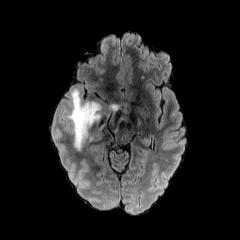
FLAIR MR.
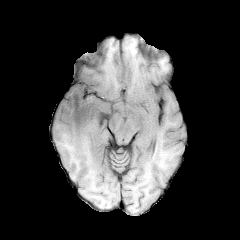
T1-weighted MR.
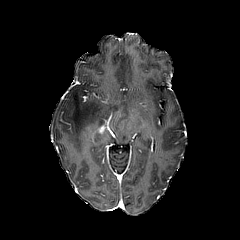
Post-contrast T1-weighted MR image.
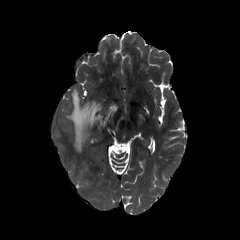
Same slice, T2-weighted magnetic resonance.
Axial view. Head. 240x240.
peritumoral edema — bbox=[65, 89, 120, 150]